FLAIR MR image.
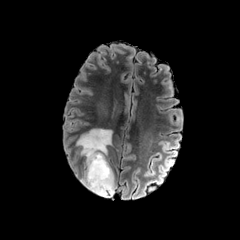
T1-weighted magnetic resonance.
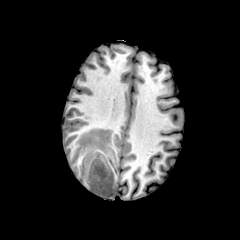
Post-contrast T1-weighted MRI.
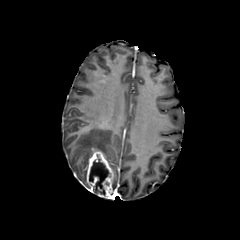
T2-weighted magnetic resonance.
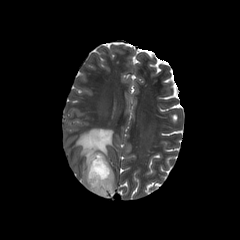
Brain; Image size 240x240
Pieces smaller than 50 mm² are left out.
peritumoral edema = x1=76 y1=128 x2=112 y2=186
enhancing tumor = x1=86 y1=149 x2=115 y2=198
necrotic tumor core = x1=89 y1=159 x2=108 y2=195